Image width 240 mm | Axial slice | Brain
FLAIR MR.
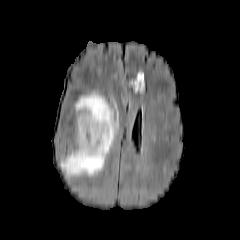
T1-weighted MR image.
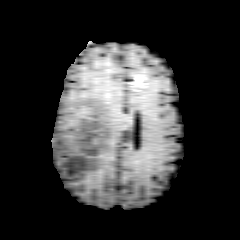
Post-contrast T1-weighted MR.
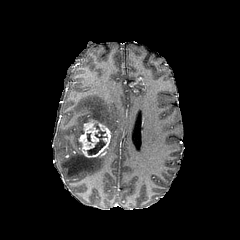
T2-weighted MR.
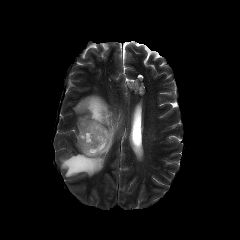
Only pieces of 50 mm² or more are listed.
Findings:
• enhancing tumor: box(78, 119, 110, 157)
• necrotic tumor core: box(87, 124, 107, 155)
• peritumoral edema: box(61, 93, 118, 176)